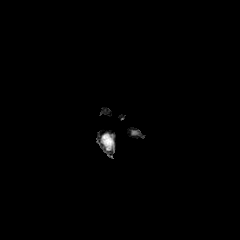
FLAIR MR image.
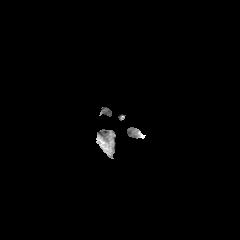
T1-weighted MR image of the same slice.
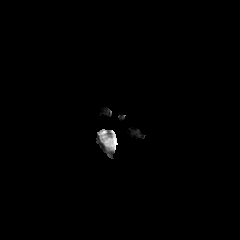
Same slice, post-contrast T1-weighted MRI.
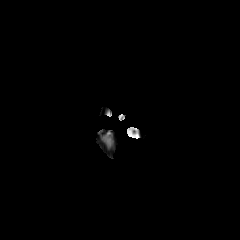
T2-weighted magnetic resonance.
Head. Axial slice.
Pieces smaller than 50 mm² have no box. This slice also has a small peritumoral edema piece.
<segmentation>
  <enhancing_tumor>l=101, t=136, r=112, b=147</enhancing_tumor>
</segmentation>